FLAIR MRI.
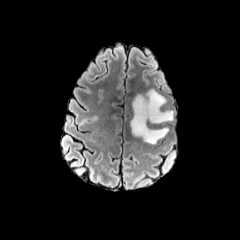
T1-weighted MRI.
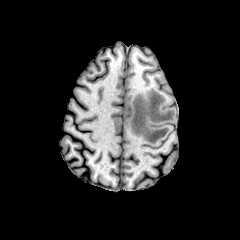
Post-contrast T1-weighted MRI.
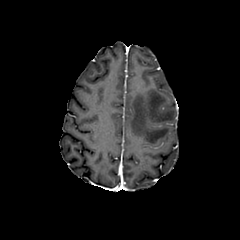
T2-weighted MR.
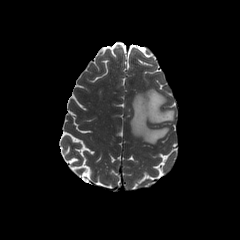
Axial view.
<segmentation>
  <peritumoral_edema>(130, 89, 173, 144)</peritumoral_edema>
</segmentation>